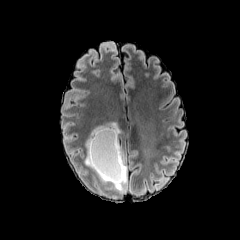
FLAIR MRI.
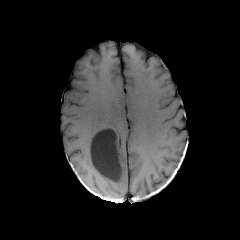
Same slice, T1-weighted MR.
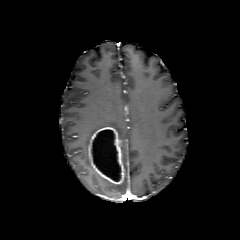
Post-contrast T1-weighted MRI of the same slice.
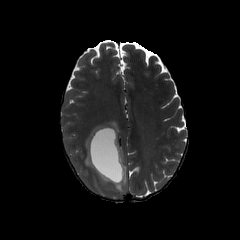
Same slice, T2-weighted MRI.
necrotic tumor core — 91 129 121 181
enhancing tumor — 88 127 124 184
peritumoral edema — 84 122 126 191